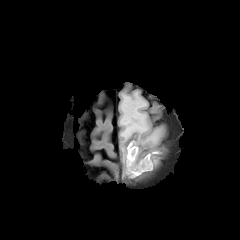
FLAIR MR image.
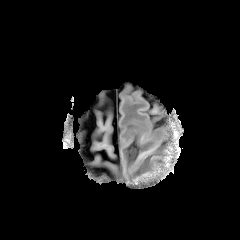
Same slice, T1-weighted MR image.
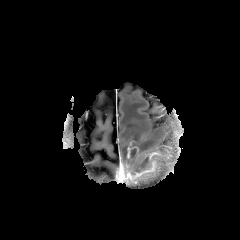
Post-contrast T1-weighted MR.
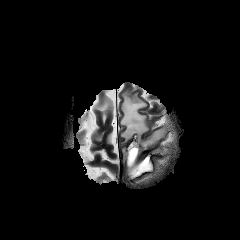
T2-weighted MR.
Brain. 240x240.
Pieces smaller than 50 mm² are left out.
enhancing tumor = region(124, 151, 159, 179); region(127, 141, 138, 160)
necrotic tumor core = region(126, 148, 148, 171)
peritumoral edema = region(122, 148, 126, 163); region(120, 93, 162, 146)